240x240; Brain
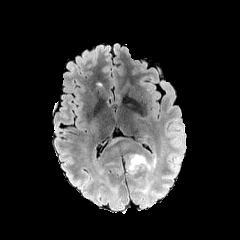
FLAIR MRI.
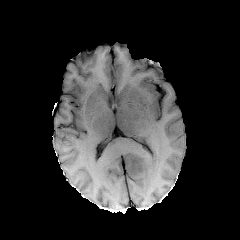
T1-weighted magnetic resonance of the same slice.
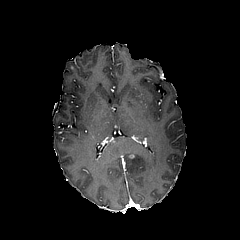
Post-contrast T1-weighted MRI of the same slice.
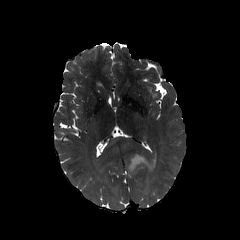
T2-weighted magnetic resonance.
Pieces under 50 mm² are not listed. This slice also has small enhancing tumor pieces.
peritumoral_edema:
  - 127, 154, 155, 174